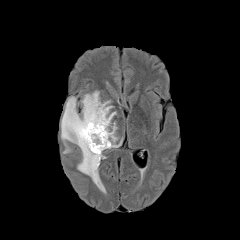
FLAIR MRI.
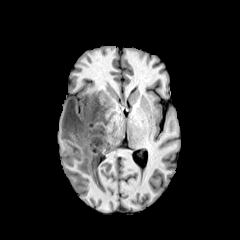
Same slice, T1-weighted MRI.
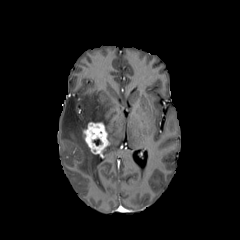
Post-contrast T1-weighted MRI.
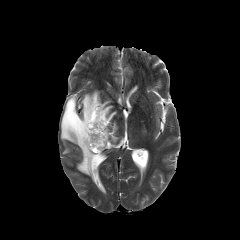
Same slice, T2-weighted MR.
Head
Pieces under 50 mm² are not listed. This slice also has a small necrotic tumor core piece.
Findings:
- peritumoral edema: 61:91:122:192
- enhancing tumor: 83:122:109:155